Slice 49 of 155. Axial plane. Brain.
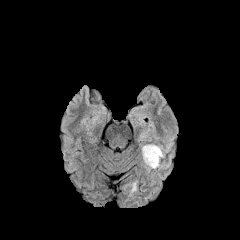
FLAIR magnetic resonance.
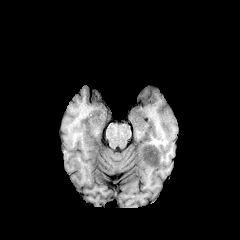
T1-weighted MR image.
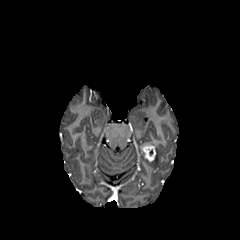
Same slice, post-contrast T1-weighted magnetic resonance.
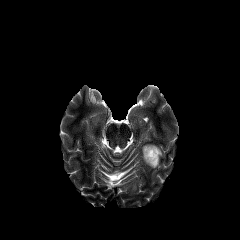
T2-weighted MR.
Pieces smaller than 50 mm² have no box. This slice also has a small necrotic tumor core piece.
peritumoral edema at {"x1": 142, "y1": 144, "x2": 164, "y2": 170}
enhancing tumor at {"x1": 142, "y1": 145, "x2": 156, "y2": 162}